FLAIR magnetic resonance.
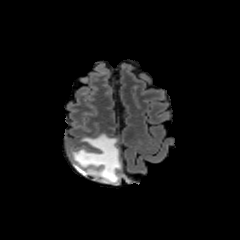
T1-weighted magnetic resonance.
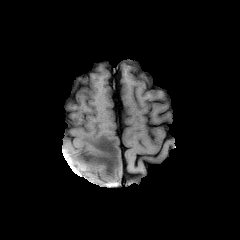
Post-contrast T1-weighted MRI.
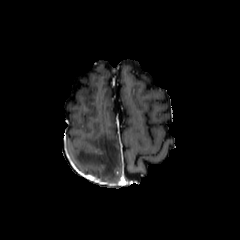
T2-weighted MR image.
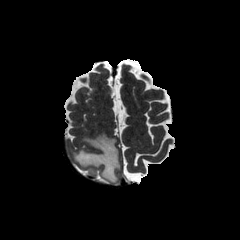
240x240 px.
The peritumoral edema is bounded by bbox(71, 133, 120, 183).